FLAIR MR image.
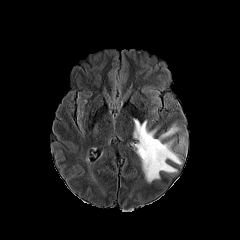
T1-weighted MR image.
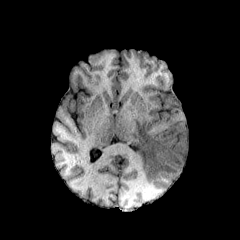
Post-contrast T1-weighted MR image.
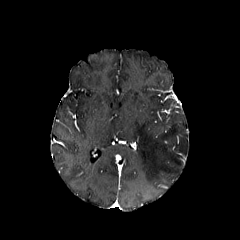
T2-weighted magnetic resonance.
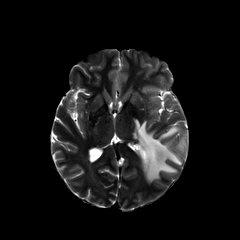
Head
2 peritumoral edema regions are located at (x1=178, y1=137, x2=186, y2=151), (x1=133, y1=119, x2=181, y2=182).